Slice 65/155; Image size 240x240
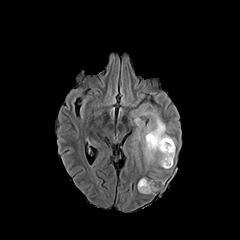
FLAIR MR.
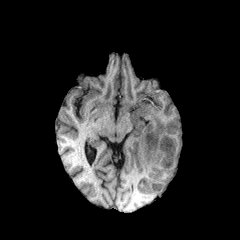
T1-weighted MRI of the same slice.
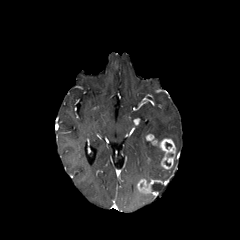
Post-contrast T1-weighted MRI.
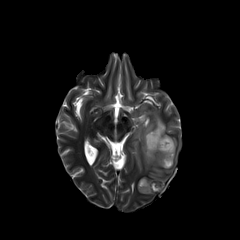
T2-weighted magnetic resonance.
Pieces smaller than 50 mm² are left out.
necrotic_tumor_core:
  - <bbox>152, 183, 159, 191</bbox>
enhancing_tumor:
  - <bbox>137, 178, 160, 194</bbox>
  - <bbox>146, 134, 175, 169</bbox>
peritumoral_edema:
  - <bbox>133, 108, 175, 165</bbox>